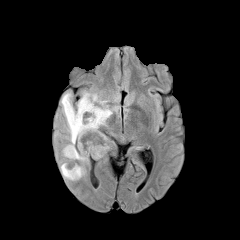
FLAIR MRI.
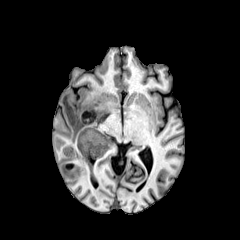
T1-weighted MR of the same slice.
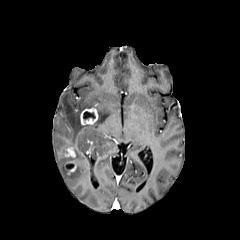
Post-contrast T1-weighted MRI.
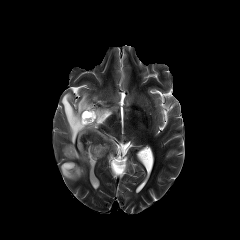
T2-weighted magnetic resonance of the same slice.
2 peritumoral edema regions are located at (left=61, top=91, right=117, bottom=162), (left=59, top=161, right=85, bottom=180). 2 necrotic tumor core regions appear at (left=83, top=111, right=95, bottom=119), (left=64, top=163, right=74, bottom=173). 3 enhancing tumor regions appear at (left=80, top=108, right=98, bottom=125), (left=65, top=147, right=75, bottom=157), (left=66, top=162, right=76, bottom=174).